240x240 px, Axial slice
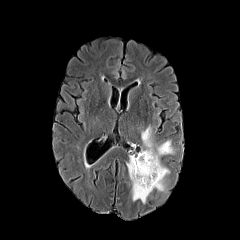
FLAIR magnetic resonance.
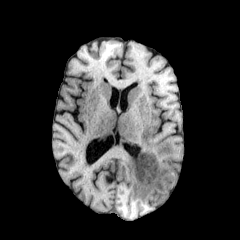
T1-weighted MR.
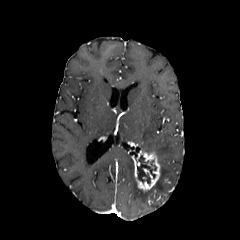
Post-contrast T1-weighted magnetic resonance of the same slice.
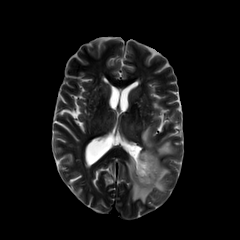
T2-weighted MR.
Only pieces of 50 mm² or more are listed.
{
  "peritumoral_edema": [
    "bbox=[126, 125, 174, 203]"
  ],
  "necrotic_tumor_core": [
    "bbox=[137, 155, 156, 183]"
  ],
  "enhancing_tumor": [
    "bbox=[131, 150, 160, 191]"
  ]
}